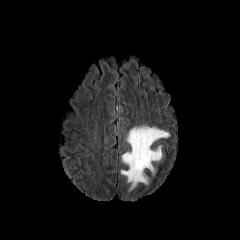
FLAIR MRI.
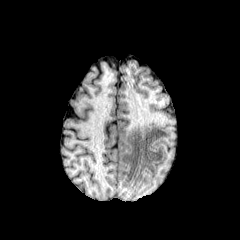
T1-weighted MR image.
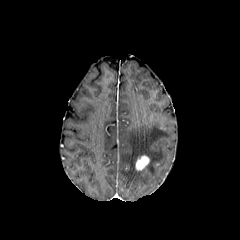
Same slice, post-contrast T1-weighted MR image.
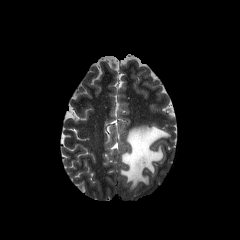
T2-weighted MR image of the same slice.
Image size 240x240, Axial view, Brain
enhancing tumor = (x1=135, y1=155, x2=149, y2=170)
peritumoral edema = (x1=121, y1=124, x2=170, y2=190)